240x240 px. Slice index 54.
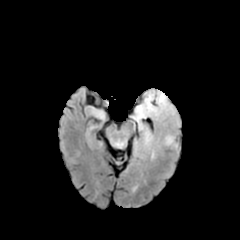
FLAIR MRI.
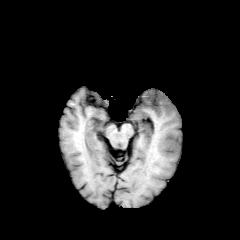
T1-weighted MR.
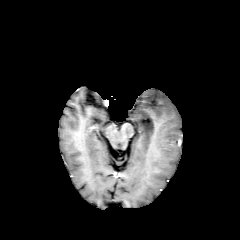
Post-contrast T1-weighted MR.
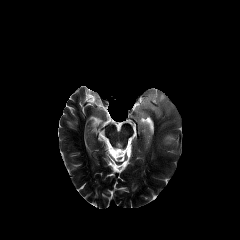
T2-weighted MR image.
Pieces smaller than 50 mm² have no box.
peritumoral_edema:
  - x1=163, y1=134, x2=180, y2=149
  - x1=132, y1=89, x2=176, y2=146